FLAIR MRI.
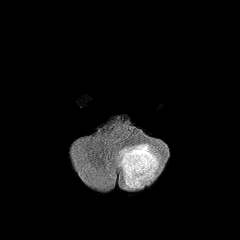
T1-weighted MRI.
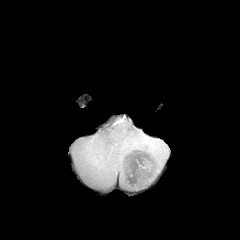
Post-contrast T1-weighted MRI.
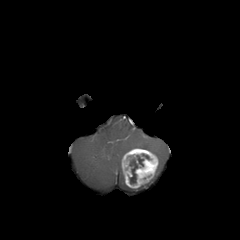
T2-weighted MRI.
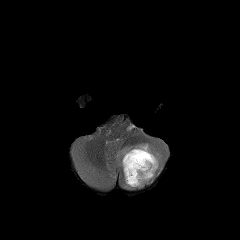
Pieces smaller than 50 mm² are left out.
Annotated regions:
• enhancing tumor: (left=121, top=148, right=158, bottom=188)
• peritumoral edema: (left=115, top=143, right=164, bottom=180), (left=122, top=171, right=134, bottom=189)
• necrotic tumor core: (left=129, top=158, right=138, bottom=183), (left=136, top=155, right=143, bottom=166)